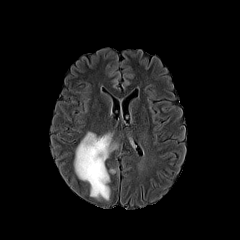
FLAIR MR image.
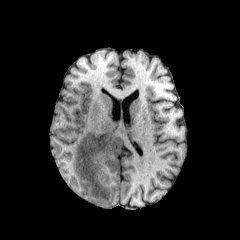
T1-weighted MRI.
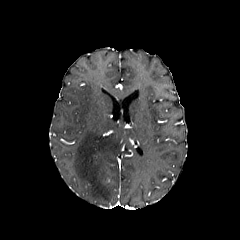
Post-contrast T1-weighted MR image.
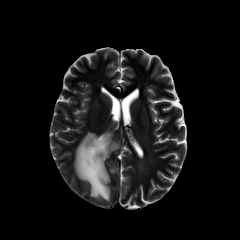
Same slice, T2-weighted MR image.
240x240 px | Brain
{"peritumoral_edema": ["left=74, top=132, right=117, bottom=200"]}